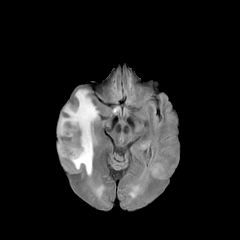
FLAIR MRI.
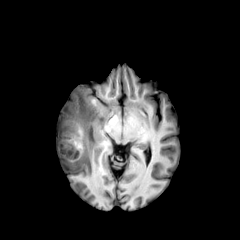
T1-weighted MR image.
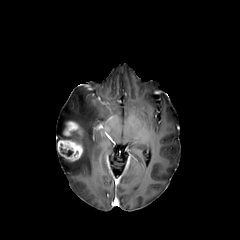
Same slice, post-contrast T1-weighted MR.
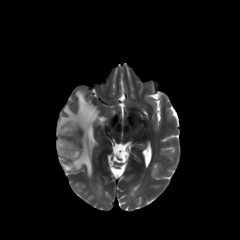
Same slice, T2-weighted MR.
240x240
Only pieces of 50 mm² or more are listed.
The 2 largest necrotic tumor core regions are located at <bbox>63, 132, 79, 142</bbox>, <bbox>60, 148, 73, 156</bbox>. 2 enhancing tumor regions are located at <bbox>57, 139, 83, 161</bbox>, <bbox>63, 121, 79, 136</bbox>. The largest peritumoral edema region is bounded by <bbox>57, 90, 98, 176</bbox>.